FLAIR magnetic resonance.
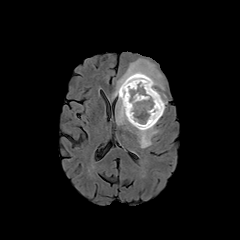
T1-weighted MR image.
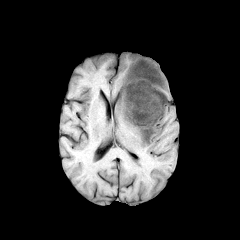
Post-contrast T1-weighted magnetic resonance.
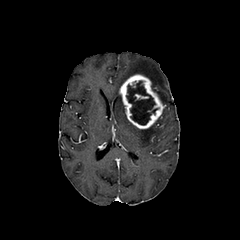
T2-weighted MR image.
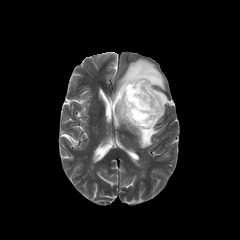
Axial view; 240x240 px
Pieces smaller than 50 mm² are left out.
The necrotic tumor core is bounded by l=126, t=81, r=157, b=124. The largest peritumoral edema region is located at l=109, t=58, r=167, b=148. The largest enhancing tumor region lies within l=119, t=74, r=164, b=129.